Axial plane | Slice 78 of 155
FLAIR MRI.
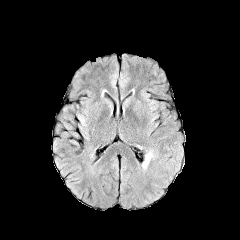
T1-weighted MRI.
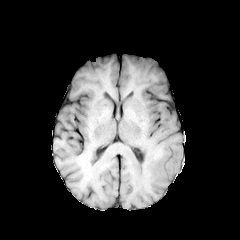
Post-contrast T1-weighted MR image.
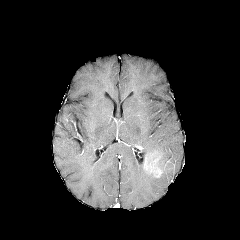
T2-weighted MR.
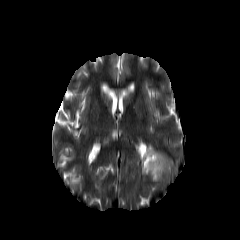
The enhancing tumor is bounded by <bbox>144, 154, 161, 177</bbox>. 2 peritumoral edema regions appear at <bbox>141, 160, 155, 178</bbox>, <bbox>145, 146, 170, 172</bbox>.